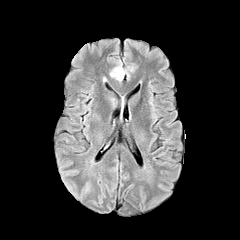
FLAIR MR image.
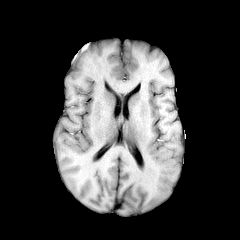
T1-weighted MR image.
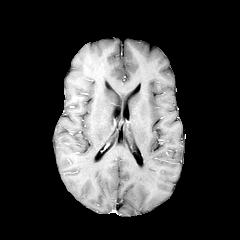
Post-contrast T1-weighted MR.
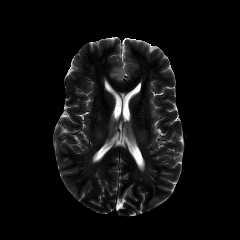
T2-weighted MR.
Head
peritumoral edema — region(110, 66, 125, 81)